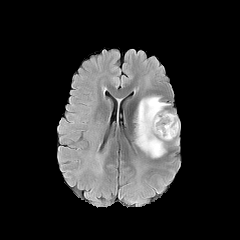
FLAIR MRI.
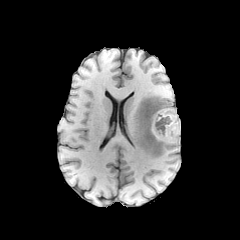
Same slice, T1-weighted MR.
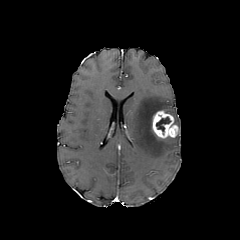
Post-contrast T1-weighted MRI of the same slice.
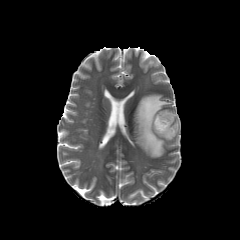
Same slice, T2-weighted MR image.
Brain, 240x240 px
{
  "necrotic_tumor_core": [
    "<bbox>156, 117, 170, 131</bbox>"
  ],
  "enhancing_tumor": [
    "<bbox>152, 110, 178, 138</bbox>"
  ],
  "peritumoral_edema": [
    "<bbox>165, 111, 180, 131</bbox>",
    "<bbox>135, 95, 173, 157</bbox>"
  ]
}